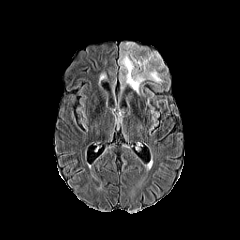
FLAIR MRI.
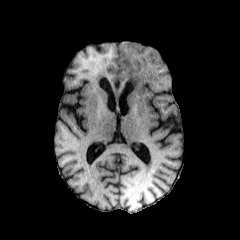
Same slice, T1-weighted MRI.
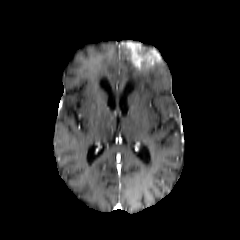
Same slice, post-contrast T1-weighted MR image.
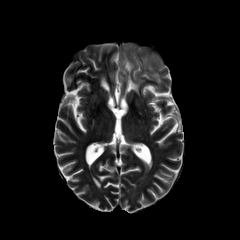
T2-weighted MR.
Axial view
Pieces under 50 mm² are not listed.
- peritumoral edema: box=[119, 46, 162, 93]
- enhancing tumor: box=[121, 41, 161, 71]